FLAIR MRI.
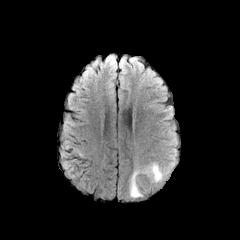
T1-weighted magnetic resonance.
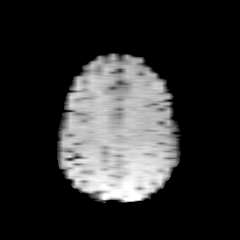
Post-contrast T1-weighted magnetic resonance.
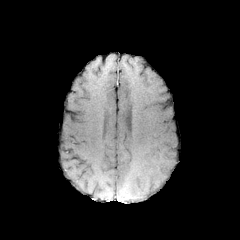
T2-weighted MR.
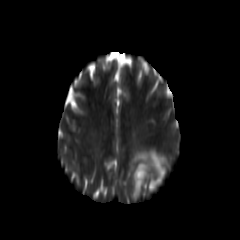
240x240, Axial slice, Head
The peritumoral edema is bounded by left=130, top=155, right=165, bottom=197.